FLAIR MRI.
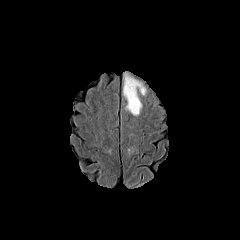
T1-weighted magnetic resonance.
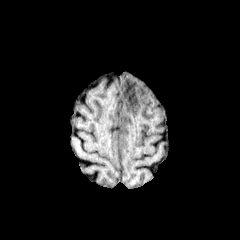
Post-contrast T1-weighted MR.
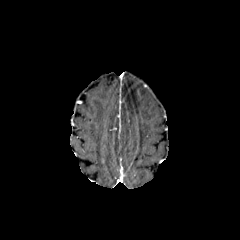
T2-weighted magnetic resonance.
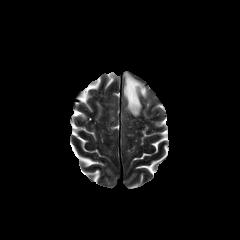
Axial plane. 240x240 px. Head.
Findings:
* peritumoral edema: [123,73,146,115]